FLAIR MR.
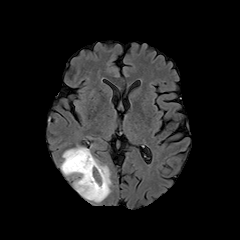
T1-weighted MR.
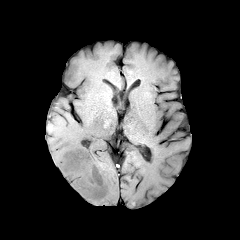
Post-contrast T1-weighted MRI.
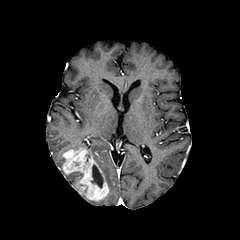
T2-weighted MR.
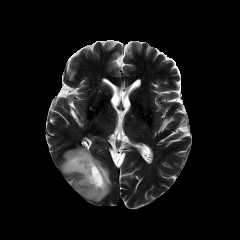
Head, Axial view
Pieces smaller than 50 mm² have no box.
<segmentation>
  <enhancing_tumor>(62, 148, 109, 201)</enhancing_tumor>
  <necrotic_tumor_core>(91, 165, 103, 188)</necrotic_tumor_core>
  <peritumoral_edema>(60, 157, 82, 189), (93, 156, 111, 193)</peritumoral_edema>
</segmentation>